FLAIR MR image.
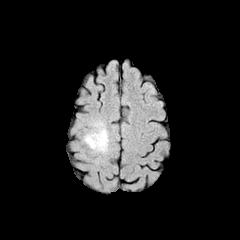
T1-weighted MR.
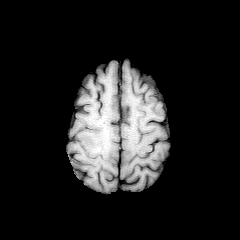
Post-contrast T1-weighted MR.
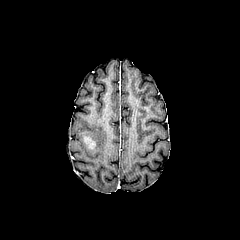
T2-weighted MRI.
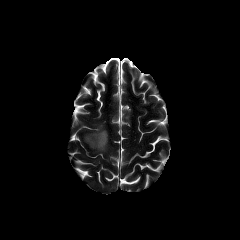
{"peritumoral_edema": ["<box>83,120,108,155</box>"], "enhancing_tumor": ["<box>84,136,95,148</box>"]}